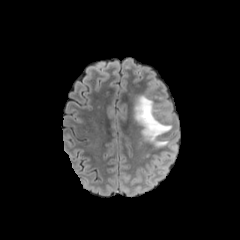
FLAIR MRI.
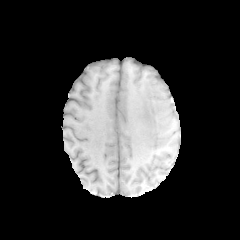
T1-weighted MRI of the same slice.
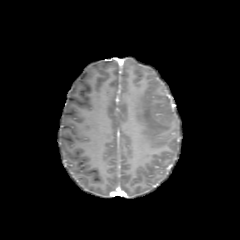
Post-contrast T1-weighted MR of the same slice.
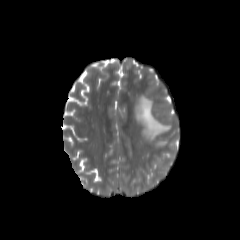
T2-weighted magnetic resonance of the same slice.
Axial slice
peritumoral edema — 134,95,171,146